FLAIR MR.
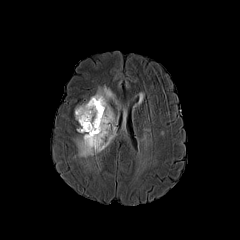
T1-weighted magnetic resonance.
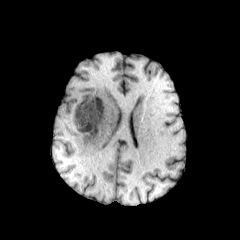
Post-contrast T1-weighted MR image.
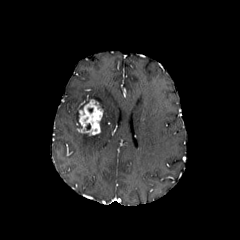
T2-weighted MR.
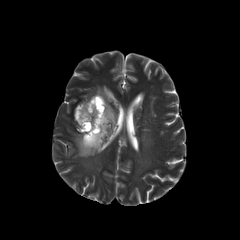
Brain; Axial slice
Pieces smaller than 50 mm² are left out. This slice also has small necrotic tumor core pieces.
<segmentation>
  <peritumoral_edema><bbox>75, 86, 117, 157</bbox>, <bbox>75, 104, 85, 121</bbox></peritumoral_edema>
  <enhancing_tumor><bbox>77, 99, 103, 135</bbox></enhancing_tumor>
</segmentation>